FLAIR magnetic resonance.
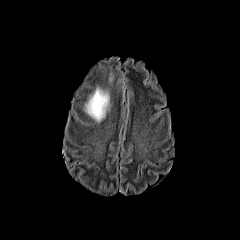
T1-weighted MR.
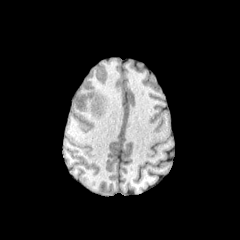
Post-contrast T1-weighted MR.
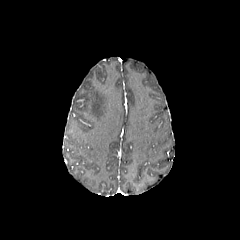
T2-weighted magnetic resonance.
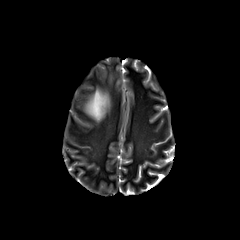
Head. Axial view.
peritumoral edema: bounding box box(82, 84, 110, 123)